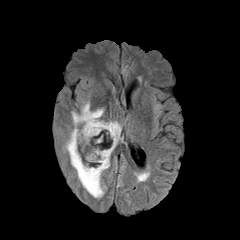
FLAIR magnetic resonance.
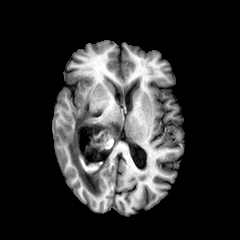
T1-weighted MR.
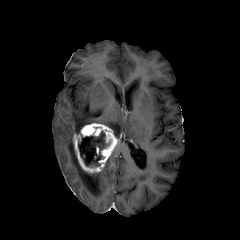
Post-contrast T1-weighted magnetic resonance of the same slice.
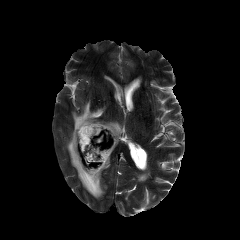
T2-weighted MRI.
Head
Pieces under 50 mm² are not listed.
* necrotic tumor core: [78, 131, 110, 166]
* enhancing tumor: [73, 123, 119, 173]
* peritumoral edema: [64, 101, 121, 198]